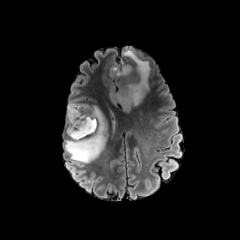
FLAIR MR image.
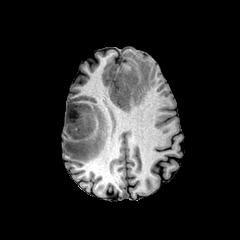
T1-weighted magnetic resonance.
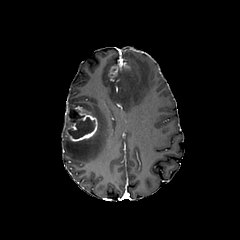
Post-contrast T1-weighted MRI.
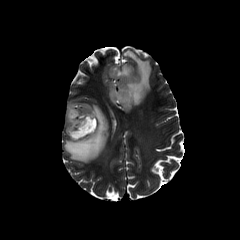
T2-weighted MRI.
240x240 px. Brain.
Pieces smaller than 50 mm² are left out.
2 enhancing tumor regions appear at bbox(65, 106, 97, 141); bbox(108, 59, 130, 80). The 2 largest peritumoral edema regions appear at bbox(64, 102, 107, 163); bbox(110, 49, 150, 107). The necrotic tumor core appears at bbox(67, 108, 94, 138).